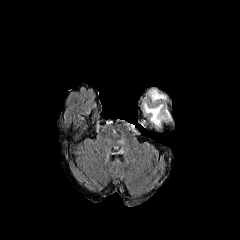
FLAIR MR.
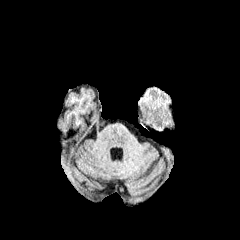
T1-weighted MR image.
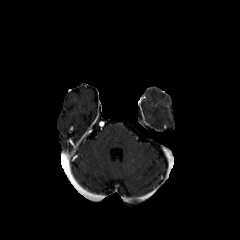
Post-contrast T1-weighted MR of the same slice.
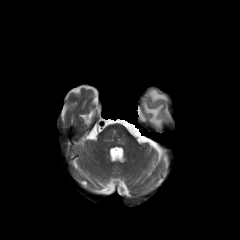
Same slice, T2-weighted MR image.
Axial view
<segmentation>
  <peritumoral_edema>(x1=143, y1=102, x2=170, y2=127), (x1=148, y1=89, x2=166, y2=102)</peritumoral_edema>
</segmentation>